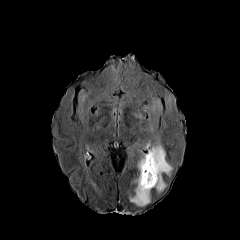
FLAIR MRI.
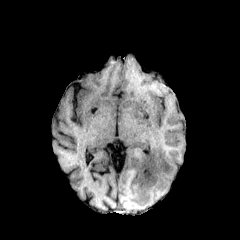
Same slice, T1-weighted MR image.
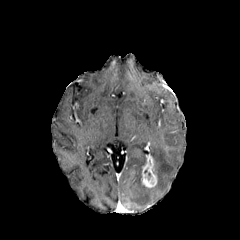
Post-contrast T1-weighted MR image of the same slice.
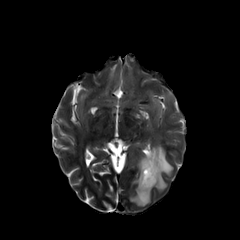
T2-weighted MRI.
240x240 px
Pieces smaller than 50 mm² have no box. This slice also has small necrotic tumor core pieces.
{
  "peritumoral_edema": [
    "(148,101,173,192)",
    "(129,154,151,206)"
  ],
  "enhancing_tumor": [
    "(141,153,157,187)"
  ]
}